Slice index 100 | Image width 240 mm, 1.00 mm slice spacing
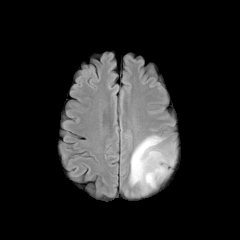
FLAIR magnetic resonance.
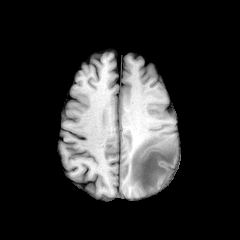
Same slice, T1-weighted MR.
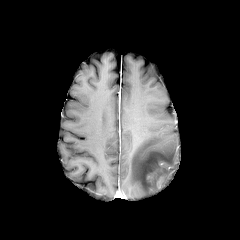
Post-contrast T1-weighted MR image.
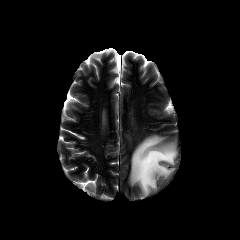
T2-weighted MRI.
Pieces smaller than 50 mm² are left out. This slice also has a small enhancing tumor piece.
peritumoral edema — 130,135,175,193